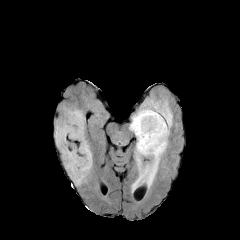
FLAIR magnetic resonance.
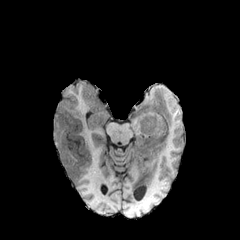
T1-weighted magnetic resonance.
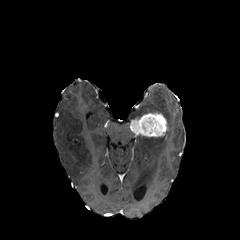
Post-contrast T1-weighted MR image of the same slice.
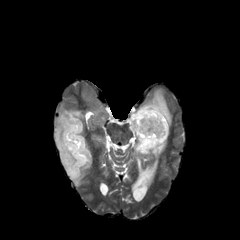
Same slice, T2-weighted magnetic resonance.
Axial view
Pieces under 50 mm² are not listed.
enhancing_tumor:
  - box=[130, 112, 167, 137]
peritumoral_edema:
  - box=[131, 90, 172, 190]
  - box=[54, 102, 92, 185]